FLAIR MRI.
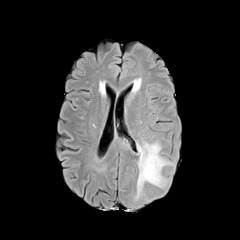
T1-weighted MRI.
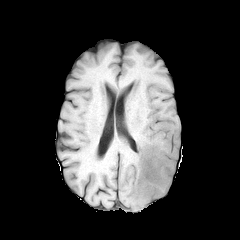
Post-contrast T1-weighted MR image.
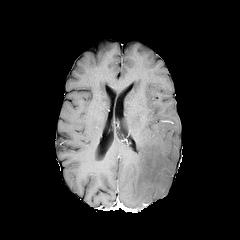
T2-weighted MRI.
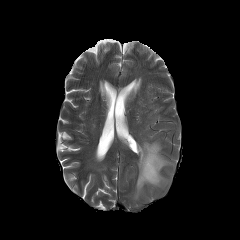
Brain
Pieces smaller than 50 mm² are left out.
peritumoral edema: bounding box box=[134, 141, 173, 200]